FLAIR MR.
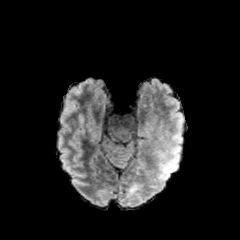
T1-weighted MR image.
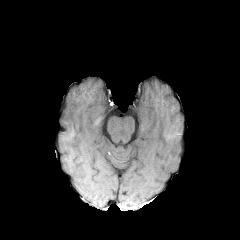
Post-contrast T1-weighted magnetic resonance.
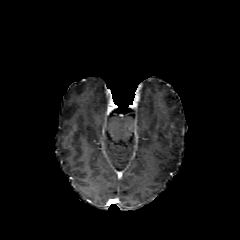
T2-weighted MR.
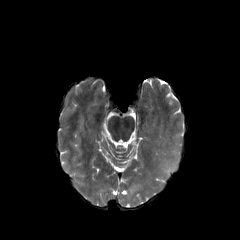
Axial plane
The peritumoral edema appears at region(157, 131, 182, 180).